Slice 115/155. Head.
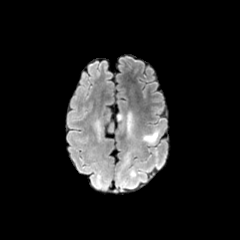
FLAIR magnetic resonance.
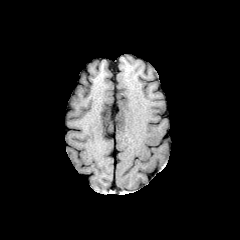
T1-weighted MR.
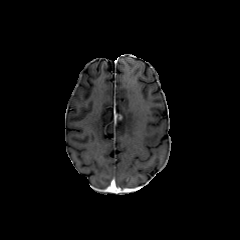
Post-contrast T1-weighted MR.
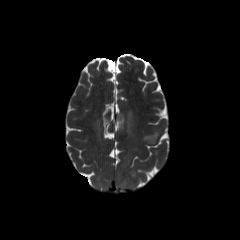
T2-weighted MR.
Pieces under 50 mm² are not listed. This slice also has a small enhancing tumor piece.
3 peritumoral edema regions are located at box=[95, 120, 101, 138]; box=[126, 111, 133, 134]; box=[143, 131, 158, 143].